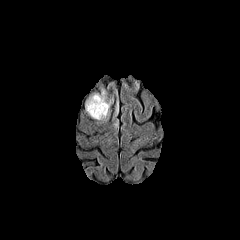
FLAIR MRI.
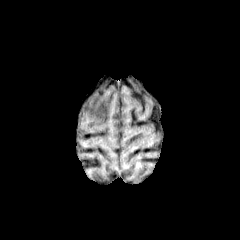
T1-weighted MR image.
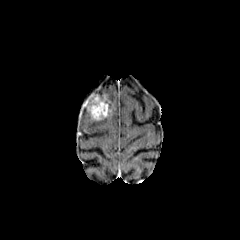
Post-contrast T1-weighted MRI of the same slice.
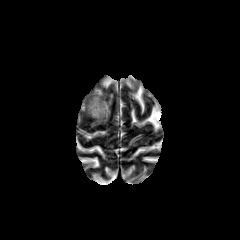
Same slice, T2-weighted MR.
Brain.
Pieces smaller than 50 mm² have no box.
Findings:
* peritumoral edema: (111, 102, 118, 128)
* enhancing tumor: (85, 94, 110, 120)